Slice 86/155; Brain
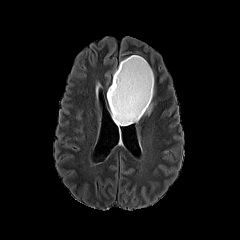
FLAIR MR.
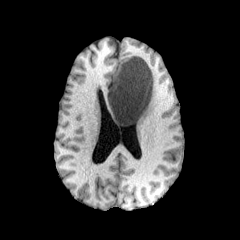
T1-weighted MRI of the same slice.
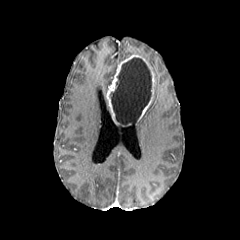
Same slice, post-contrast T1-weighted magnetic resonance.
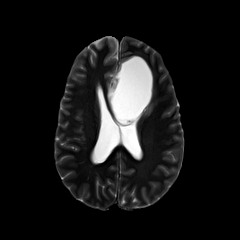
T2-weighted MR.
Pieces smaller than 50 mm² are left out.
necrotic tumor core: x1=110, y1=57, x2=151, y2=125
enhancing tumor: x1=107, y1=55, x2=154, y2=124
peritumoral edema: x1=144, y1=101, x2=153, y2=115